Image size 240x240; Brain; Slice 75/155
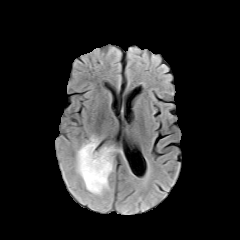
FLAIR MR.
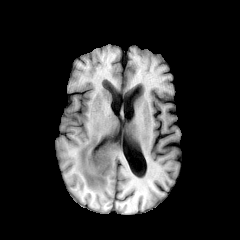
T1-weighted MR.
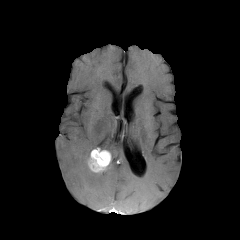
Post-contrast T1-weighted MR.
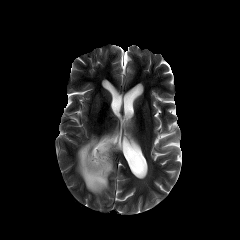
T2-weighted magnetic resonance of the same slice.
peritumoral edema: x1=76, y1=135, x2=122, y2=195 | enhancing tumor: x1=87, y1=148, x2=111, y2=173